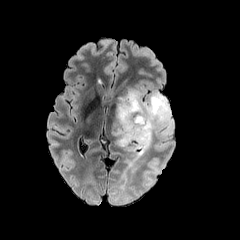
FLAIR MRI.
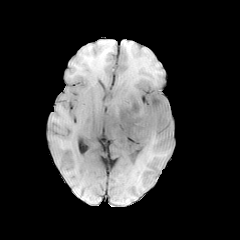
T1-weighted magnetic resonance.
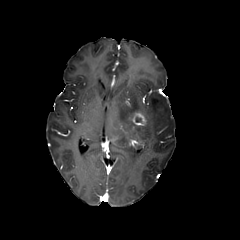
Post-contrast T1-weighted MRI.
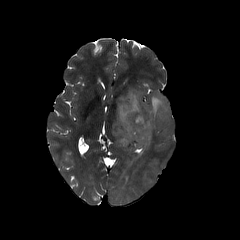
Same slice, T2-weighted magnetic resonance.
Axial plane, 240x240, Brain
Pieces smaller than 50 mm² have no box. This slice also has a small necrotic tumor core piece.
<segmentation>
  <enhancing_tumor>x1=129 y1=112 x2=147 y2=126, x1=129 y1=139 x2=138 y2=147</enhancing_tumor>
  <peritumoral_edema>x1=112 y1=90 x2=173 y2=156</peritumoral_edema>
</segmentation>